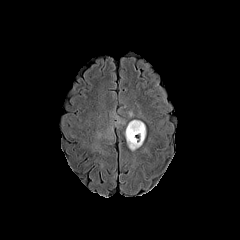
FLAIR MR image.
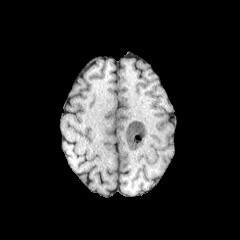
T1-weighted MR.
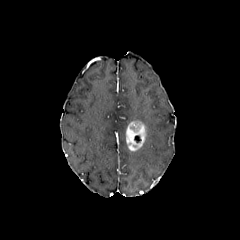
Same slice, post-contrast T1-weighted MR image.
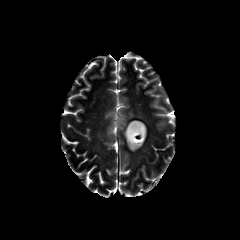
Same slice, T2-weighted MRI.
Head | Axial slice | Image size 240x240
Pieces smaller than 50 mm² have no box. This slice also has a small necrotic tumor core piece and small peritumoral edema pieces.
The enhancing tumor is at (126,120,146,151).